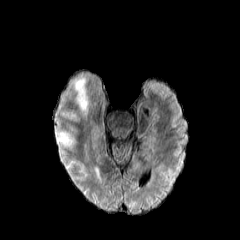
FLAIR MR image.
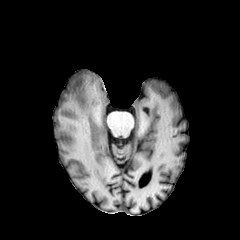
Same slice, T1-weighted magnetic resonance.
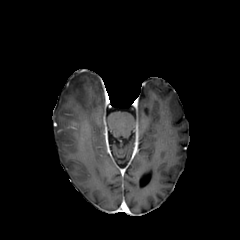
Post-contrast T1-weighted MRI.
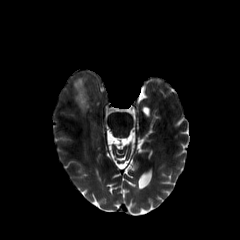
T2-weighted MR image.
Brain. 240x240 px.
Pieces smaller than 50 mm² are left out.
peritumoral edema — 57 132 70 144, 74 78 87 112